FLAIR magnetic resonance.
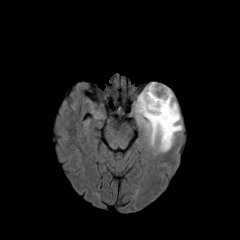
T1-weighted MR.
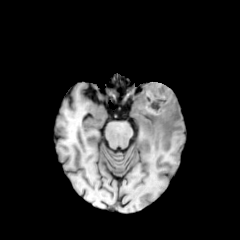
Post-contrast T1-weighted MRI.
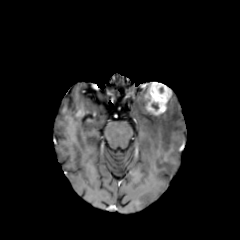
T2-weighted magnetic resonance.
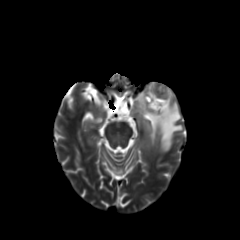
Image size 240x240. Axial slice. Head.
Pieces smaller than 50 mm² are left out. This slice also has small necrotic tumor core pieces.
enhancing tumor: bbox=[145, 82, 172, 114] | peritumoral edema: bbox=[132, 82, 182, 155]